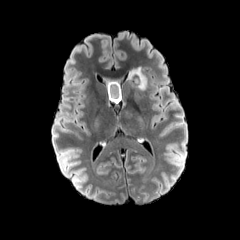
FLAIR MRI.
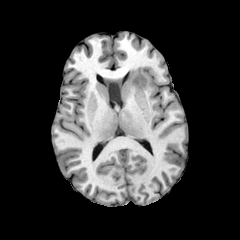
Same slice, T1-weighted MR.
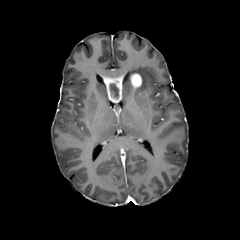
Post-contrast T1-weighted MR of the same slice.
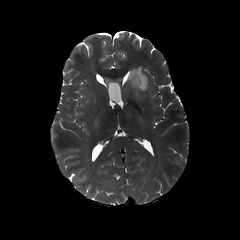
Same slice, T2-weighted MR image.
Axial view
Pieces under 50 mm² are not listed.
peritumoral_edema:
  - x1=125 y1=66 x2=147 y2=90
enhancing_tumor:
  - x1=130 y1=73 x2=142 y2=89
  - x1=103 y1=76 x2=122 y2=103
necrotic_tumor_core:
  - x1=111 y1=85 x2=118 y2=96